FLAIR MR image.
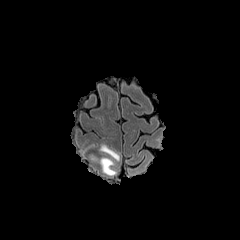
T1-weighted MR image.
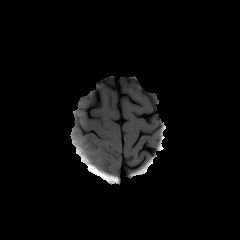
Post-contrast T1-weighted MR image.
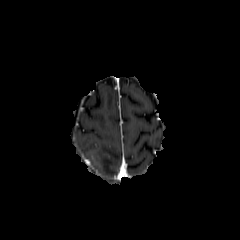
T2-weighted MR image.
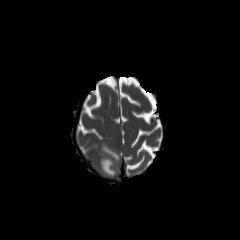
Axial slice | Brain
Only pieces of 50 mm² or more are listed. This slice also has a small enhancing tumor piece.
peritumoral edema = box=[89, 154, 116, 176]; box=[99, 144, 119, 160]